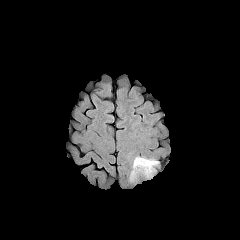
FLAIR magnetic resonance.
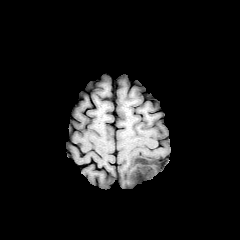
T1-weighted MRI.
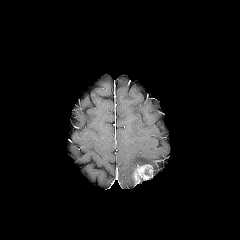
Same slice, post-contrast T1-weighted MR.
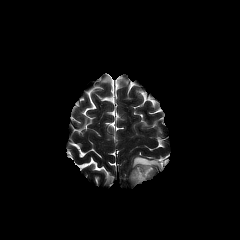
Same slice, T2-weighted magnetic resonance.
240x240. Brain.
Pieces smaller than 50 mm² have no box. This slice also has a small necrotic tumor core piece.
Findings:
- peritumoral edema: l=130, t=156, r=158, b=181
- enhancing tumor: l=132, t=164, r=153, b=184